FLAIR MR.
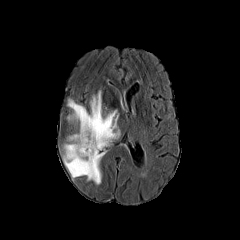
T1-weighted MR image.
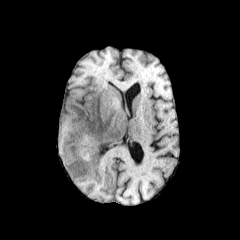
Post-contrast T1-weighted MR.
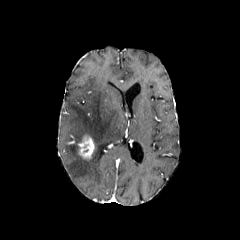
T2-weighted magnetic resonance.
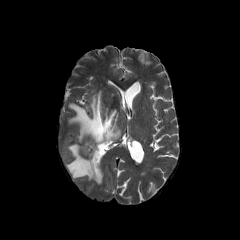
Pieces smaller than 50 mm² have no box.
peritumoral edema: [63, 92, 120, 184]
enhancing tumor: [78, 135, 94, 158]